FLAIR MR.
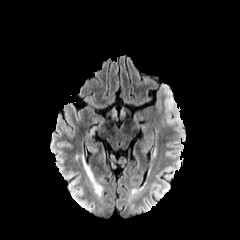
T1-weighted MRI.
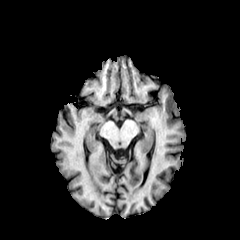
Post-contrast T1-weighted MRI.
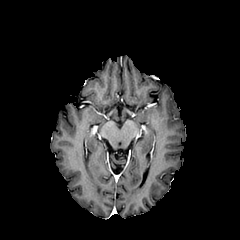
T2-weighted magnetic resonance.
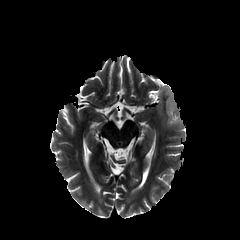
Axial plane, Image size 240x240
Segmented structures:
* peritumoral edema: {"x1": 158, "y1": 85, "x2": 178, "y2": 124}